Image width 240 mm, 1.00 mm slice spacing | Slice 53/155
FLAIR MR.
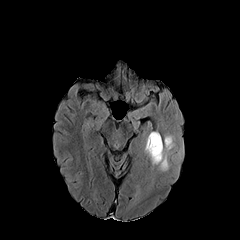
T1-weighted MR image.
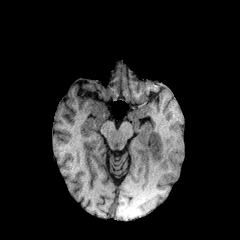
Post-contrast T1-weighted MR image.
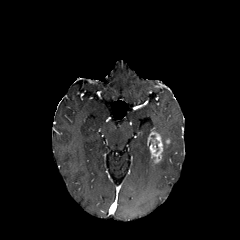
T2-weighted magnetic resonance.
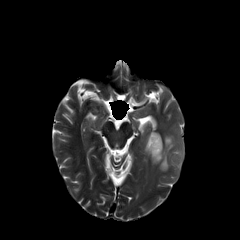
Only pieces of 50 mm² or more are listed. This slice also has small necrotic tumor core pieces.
Segmented structures:
* enhancing tumor: 147:132:162:163
* peritumoral edema: 151:134:174:171, 145:137:150:158